FLAIR magnetic resonance.
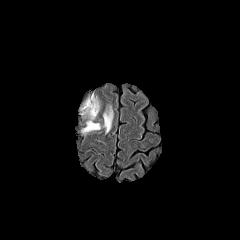
T1-weighted MR.
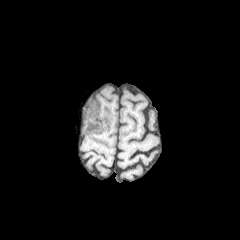
Post-contrast T1-weighted MRI.
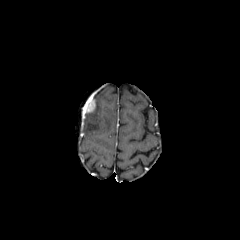
T2-weighted MRI.
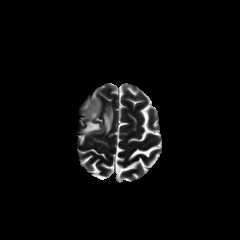
The peritumoral edema is at 82:97:113:133. The enhancing tumor is bounded by 82:94:95:115.